Head | Image width 240 mm, 1.00 mm slice spacing | Axial view
FLAIR MR image.
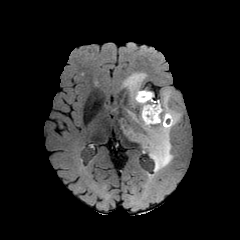
T1-weighted magnetic resonance.
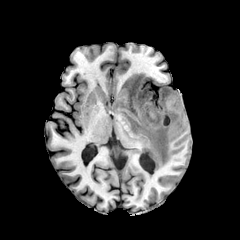
Post-contrast T1-weighted MRI.
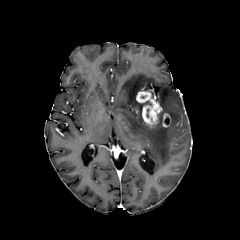
T2-weighted magnetic resonance.
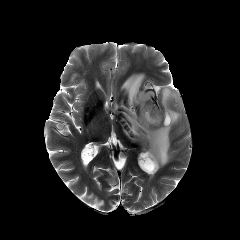
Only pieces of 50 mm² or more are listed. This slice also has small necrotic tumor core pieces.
Findings:
* enhancing tumor: x1=163 y1=113 x2=170 y2=126, x1=136 y1=91 x2=162 y2=127
* peritumoral edema: x1=123 y1=88 x2=180 y2=172, x1=122 y1=73 x2=149 y2=108